Brain | Slice index 105 | Image width 240 mm
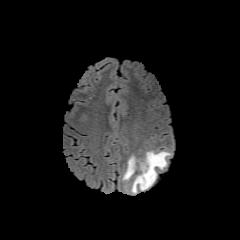
FLAIR MR image.
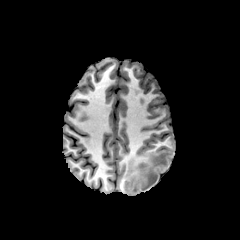
Same slice, T1-weighted MR image.
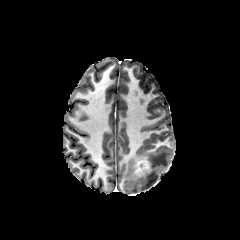
Post-contrast T1-weighted magnetic resonance.
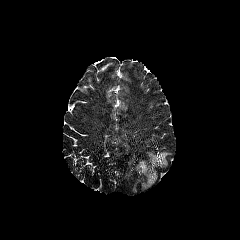
Same slice, T2-weighted MRI.
peritumoral edema: (122,151,171,193) | enhancing tumor: (135,160,150,175)